FLAIR MRI.
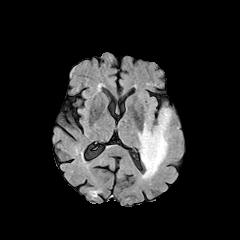
T1-weighted MR.
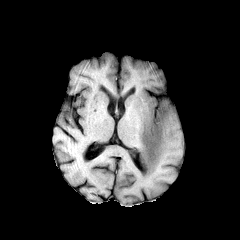
Post-contrast T1-weighted MRI.
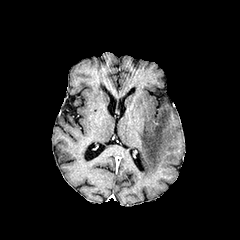
T2-weighted magnetic resonance.
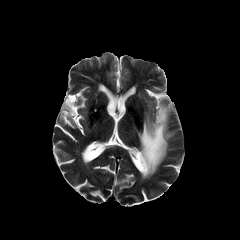
Axial view
The peritumoral edema lies within rect(138, 106, 171, 179).